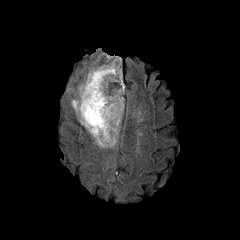
FLAIR MR image.
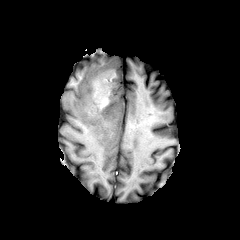
T1-weighted MR of the same slice.
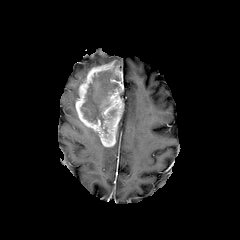
Same slice, post-contrast T1-weighted magnetic resonance.
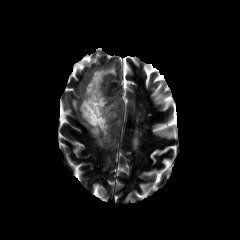
T2-weighted MR image.
Axial slice. Head. 240x240 px.
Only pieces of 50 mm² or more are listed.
{"necrotic_tumor_core": ["<box>81,70,119,127</box>"], "peritumoral_edema": ["<box>71,99,115,147</box>"], "enhancing_tumor": ["<box>75,60,124,146</box>"]}